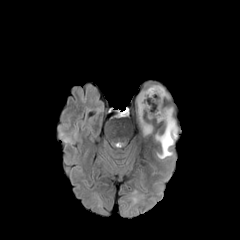
FLAIR MRI.
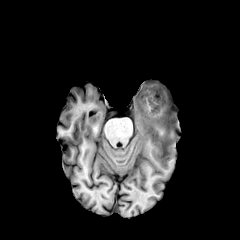
T1-weighted MR image.
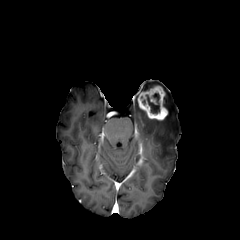
Same slice, post-contrast T1-weighted magnetic resonance.
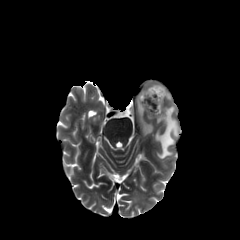
T2-weighted MRI.
Brain | Axial plane
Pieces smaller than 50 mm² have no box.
enhancing_tumor:
  - (left=137, top=85, right=168, bottom=120)
necrotic_tumor_core:
  - (left=146, top=93, right=159, bottom=113)
peritumoral_edema:
  - (left=155, top=107, right=177, bottom=158)
  - (left=138, top=106, right=153, bottom=135)